Slice index 112
FLAIR magnetic resonance.
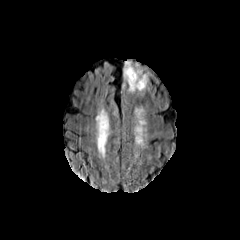
T1-weighted magnetic resonance.
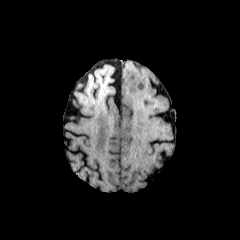
Post-contrast T1-weighted MR image.
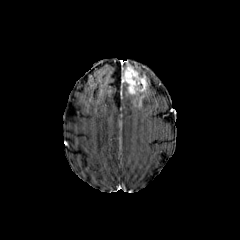
T2-weighted MR.
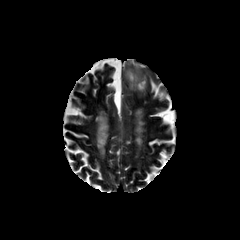
- enhancing tumor: (123,65,146,94)
- peritumoral edema: (132,64,148,105), (122,62,130,94)